Image width 240 mm | Slice index 112 | Brain
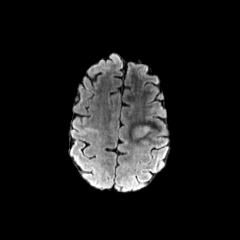
FLAIR MRI.
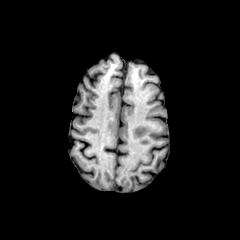
Same slice, T1-weighted MR image.
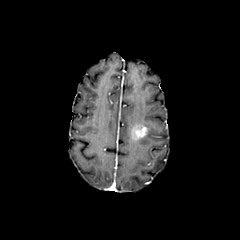
Post-contrast T1-weighted magnetic resonance.
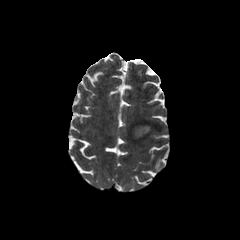
T2-weighted MR image.
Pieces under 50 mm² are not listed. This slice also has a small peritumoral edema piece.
The enhancing tumor lies within [130, 123, 147, 139].